FLAIR magnetic resonance.
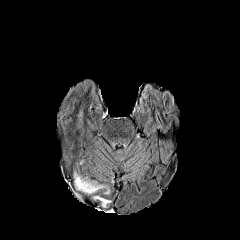
T1-weighted MR image.
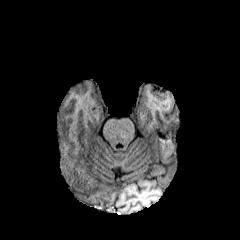
Post-contrast T1-weighted MR image.
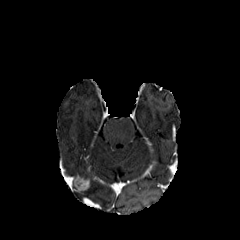
T2-weighted magnetic resonance.
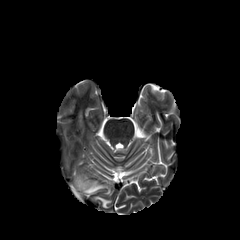
Axial plane
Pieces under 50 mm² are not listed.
peritumoral_edema:
  - box=[94, 196, 110, 206]
  - box=[83, 182, 104, 193]
enhancing_tumor:
  - box=[73, 174, 89, 191]